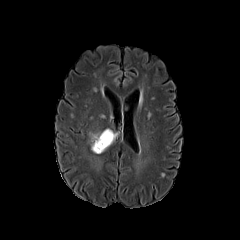
FLAIR MR image.
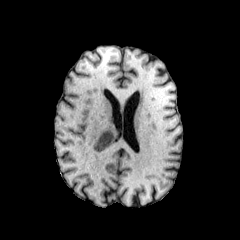
T1-weighted MR image.
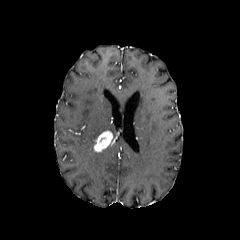
Post-contrast T1-weighted MR.
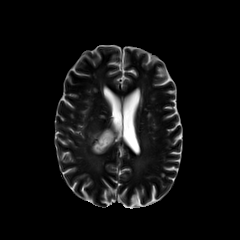
T2-weighted MR of the same slice.
240x240.
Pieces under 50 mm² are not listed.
Findings:
- peritumoral edema: (89, 132, 105, 153)
- enhancing tumor: (94, 131, 112, 151)